Image width 240 mm, 1.00 mm slice spacing; Slice 53 of 155
FLAIR magnetic resonance.
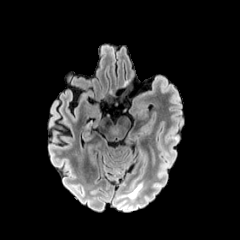
T1-weighted MRI.
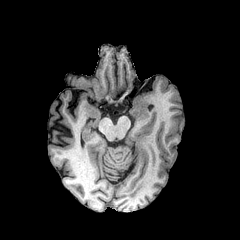
Post-contrast T1-weighted MR.
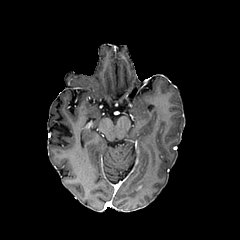
T2-weighted MR image.
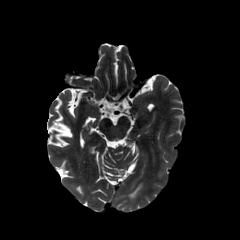
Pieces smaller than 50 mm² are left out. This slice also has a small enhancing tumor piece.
- peritumoral edema: (128,182,143,198)